Brain. Slice 72/155.
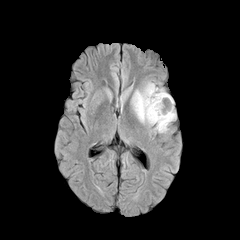
FLAIR MRI.
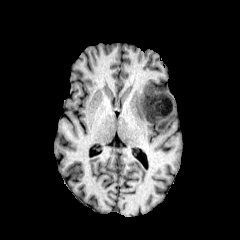
T1-weighted MR.
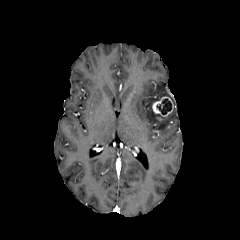
Post-contrast T1-weighted MRI of the same slice.
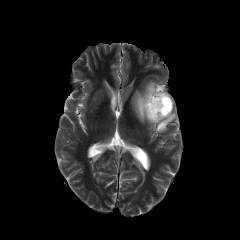
T2-weighted MR image.
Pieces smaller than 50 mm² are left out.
<segmentation>
  <peritumoral_edema>(left=132, top=83, right=175, bottom=132)</peritumoral_edema>
  <necrotic_tumor_core>(left=157, top=98, right=171, bottom=114)</necrotic_tumor_core>
  <enhancing_tumor>(left=151, top=96, right=173, bottom=116)</enhancing_tumor>
</segmentation>